Image width 240 mm, Head
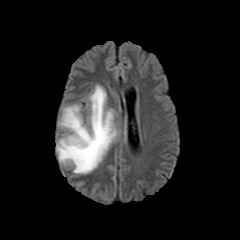
FLAIR MRI.
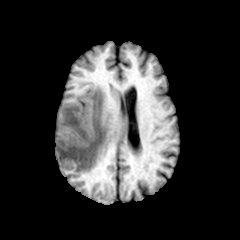
Same slice, T1-weighted MR image.
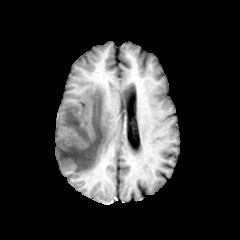
Post-contrast T1-weighted MR image of the same slice.
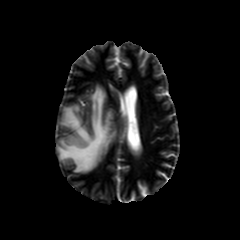
T2-weighted MR image of the same slice.
<segmentation>
  <peritumoral_edema>region(56, 85, 117, 173)</peritumoral_edema>
</segmentation>